Image covers 240 mm x 240 mm; Slice 74 of 155
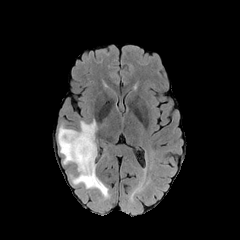
FLAIR MR image.
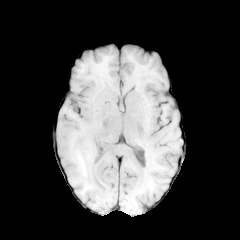
Same slice, T1-weighted MR.
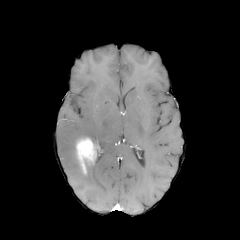
Post-contrast T1-weighted MR.
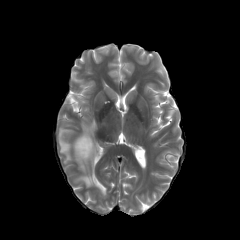
T2-weighted magnetic resonance.
Findings:
• enhancing tumor: rect(76, 137, 96, 173)
• peritumoral edema: rect(58, 119, 109, 198)